240x240 | Brain
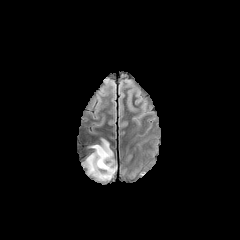
FLAIR MR.
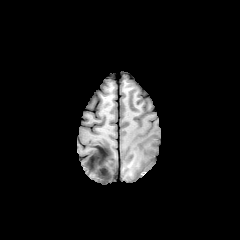
T1-weighted MRI of the same slice.
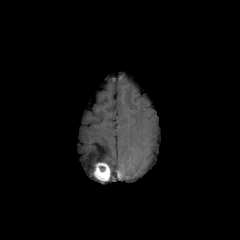
Post-contrast T1-weighted MR.
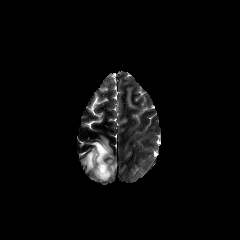
T2-weighted magnetic resonance of the same slice.
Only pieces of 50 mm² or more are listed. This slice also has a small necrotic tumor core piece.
{
  "peritumoral_edema": [
    "box(84, 139, 116, 178)"
  ],
  "enhancing_tumor": [
    "box(94, 162, 110, 181)"
  ]
}